Slice 74/155; Axial plane
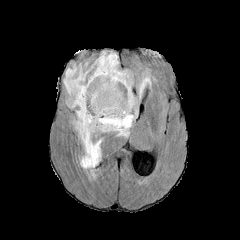
FLAIR MRI.
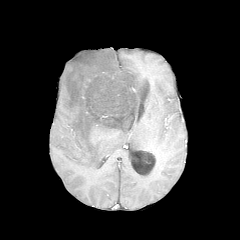
Same slice, T1-weighted magnetic resonance.
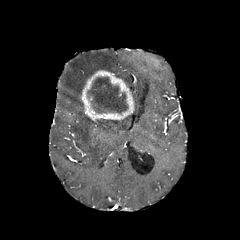
Same slice, post-contrast T1-weighted MRI.
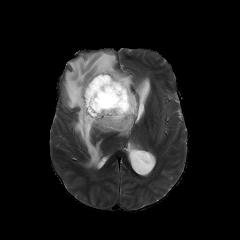
T2-weighted magnetic resonance of the same slice.
- enhancing tumor: left=81, top=70, right=134, bottom=121
- peritumoral edema: left=63, top=51, right=149, bottom=168
- necrotic tumor core: left=88, top=77, right=127, bottom=112